FLAIR MR.
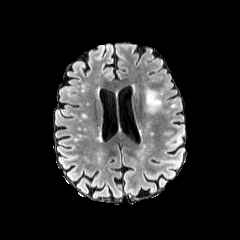
T1-weighted magnetic resonance.
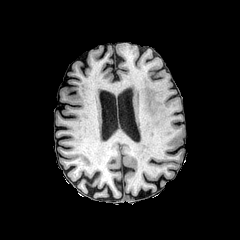
Post-contrast T1-weighted MRI.
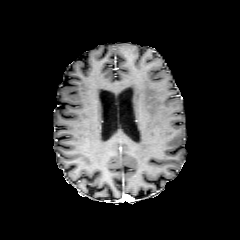
T2-weighted magnetic resonance.
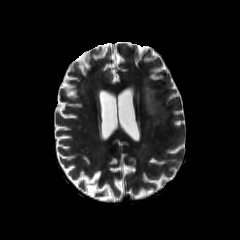
peritumoral edema: bounding box 145, 88, 161, 113